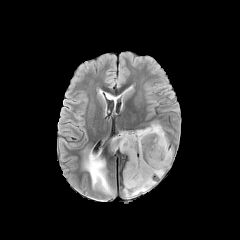
FLAIR MR image.
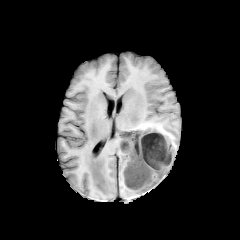
T1-weighted MR image of the same slice.
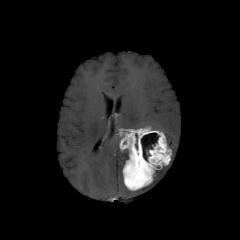
Same slice, post-contrast T1-weighted MRI.
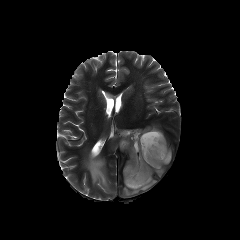
Same slice, T2-weighted MR.
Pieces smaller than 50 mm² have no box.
enhancing tumor: bounding box x1=119, y1=127, x2=171, y2=190
necrotic tumor core: bounding box x1=141, y1=133, x2=158, y2=161
peritumoral edema: bounding box x1=123, y1=180, x2=156, y2=197; x1=155, y1=166, x2=165, y2=177; x1=109, y1=134, x2=121, y2=152; x1=84, y1=152, x2=113, y2=194; x1=150, y1=124, x2=164, y2=133